Slice index 88 | Image size 240x240 | Axial view
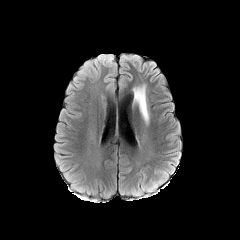
FLAIR MR.
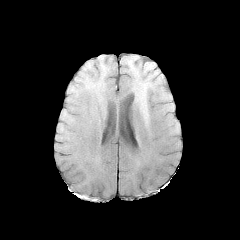
T1-weighted MR of the same slice.
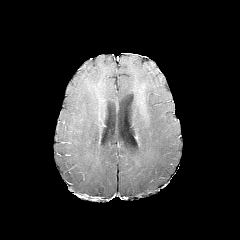
Post-contrast T1-weighted MR of the same slice.
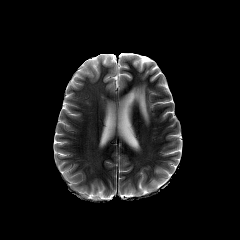
T2-weighted MRI.
<segmentation>
  <peritumoral_edema>x1=133, y1=85, x2=149, y2=123</peritumoral_edema>
</segmentation>